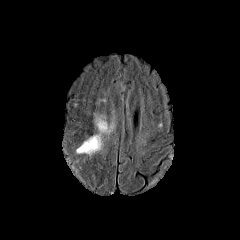
FLAIR MRI.
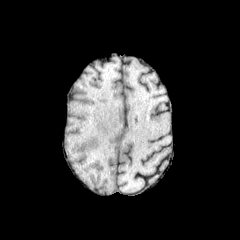
T1-weighted MR image of the same slice.
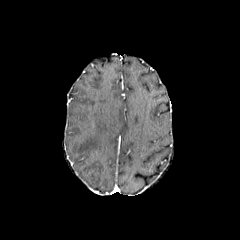
Post-contrast T1-weighted MRI.
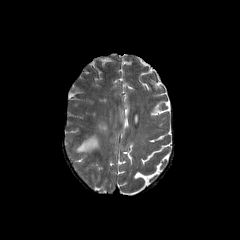
T2-weighted MR image of the same slice.
240x240 px
2 peritumoral edema regions are bounded by bbox(76, 136, 100, 154); bbox(98, 121, 107, 130).